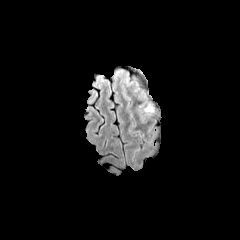
FLAIR MRI.
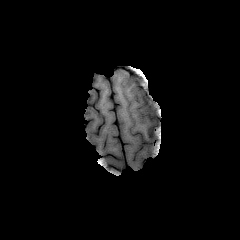
T1-weighted MR image of the same slice.
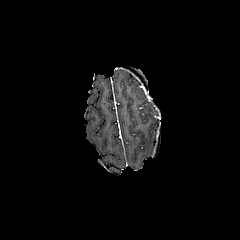
Same slice, post-contrast T1-weighted MRI.
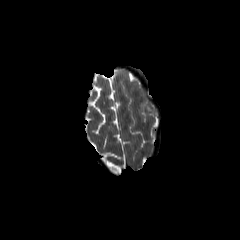
T2-weighted magnetic resonance.
Axial view.
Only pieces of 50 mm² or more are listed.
peritumoral edema: region(125, 79, 143, 95); region(122, 86, 130, 100); region(138, 104, 154, 120)